Axial view. Image covers 240 mm x 240 mm. Brain.
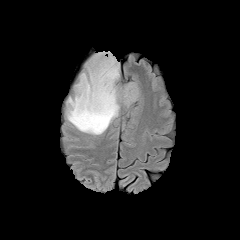
FLAIR MR.
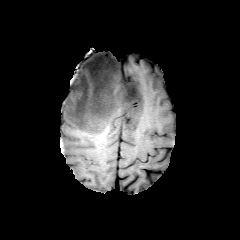
T1-weighted MR.
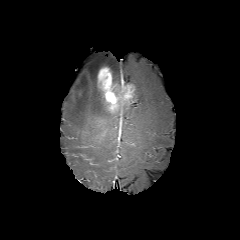
Post-contrast T1-weighted magnetic resonance of the same slice.
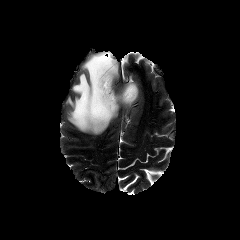
T2-weighted MRI of the same slice.
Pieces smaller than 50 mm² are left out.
{"peritumoral_edema": ["[129, 83, 138, 101]", "[67, 52, 121, 134]"], "enhancing_tumor": ["[97, 67, 135, 112]"]}